240x240 px | Slice 110 of 155 | Head
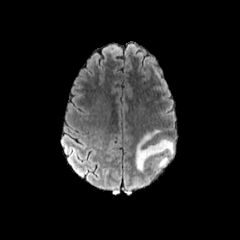
FLAIR magnetic resonance.
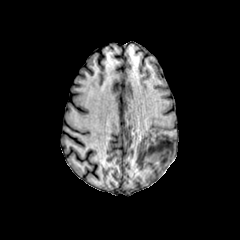
T1-weighted MRI of the same slice.
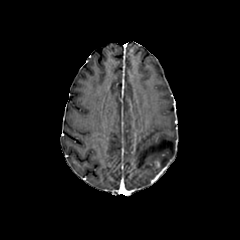
Post-contrast T1-weighted MRI of the same slice.
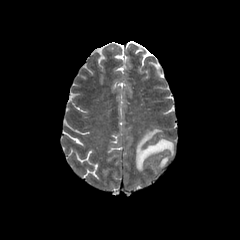
T2-weighted magnetic resonance.
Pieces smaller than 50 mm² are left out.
enhancing_tumor:
  - 151,159,161,169
peritumoral_edema:
  - 135,130,174,171